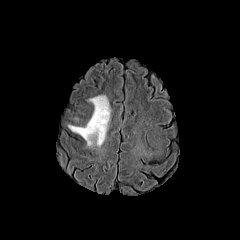
FLAIR MR.
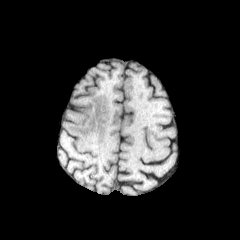
T1-weighted magnetic resonance.
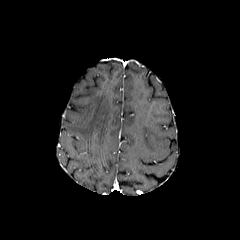
Same slice, post-contrast T1-weighted MR.
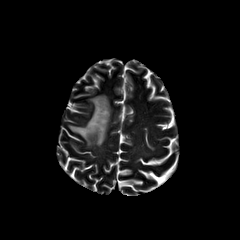
T2-weighted MR image of the same slice.
Image size 240x240
peritumoral edema = [68, 95, 110, 146]